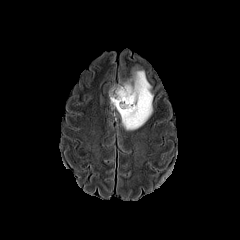
FLAIR MRI.
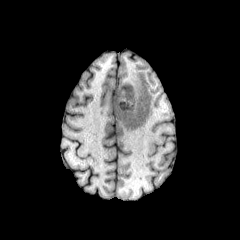
T1-weighted magnetic resonance of the same slice.
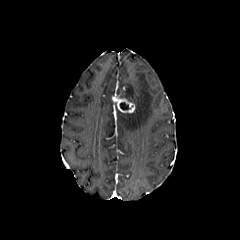
Post-contrast T1-weighted MR image of the same slice.
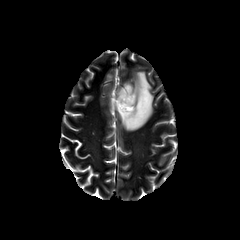
T2-weighted MR image.
Head
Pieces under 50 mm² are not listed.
necrotic tumor core at bbox=[120, 102, 129, 109]; bbox=[116, 87, 126, 97]
enhancing tumor at bbox=[112, 87, 134, 112]
peritumoral edema at bbox=[109, 86, 114, 104]; bbox=[118, 68, 153, 130]